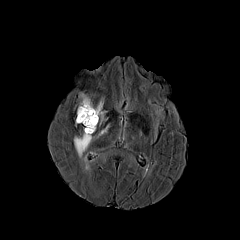
FLAIR MRI.
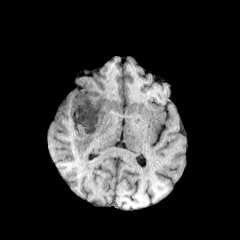
T1-weighted MR image.
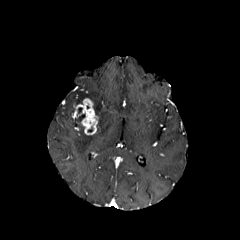
Post-contrast T1-weighted MR of the same slice.
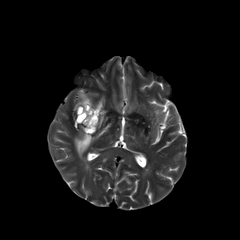
T2-weighted magnetic resonance.
Axial plane
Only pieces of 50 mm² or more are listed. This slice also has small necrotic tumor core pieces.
The enhancing tumor is bounded by box(74, 98, 98, 135). The 2 largest peritumoral edema regions appear at box(94, 101, 104, 124); box(74, 124, 109, 158).